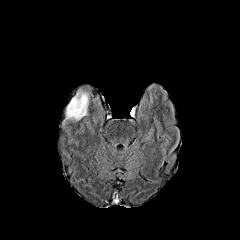
FLAIR MRI.
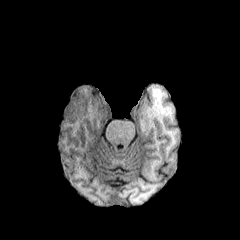
Same slice, T1-weighted MR.
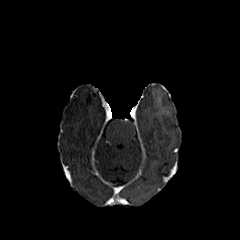
Post-contrast T1-weighted MR image.
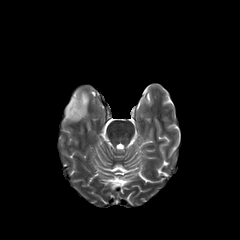
T2-weighted MR image.
240x240 px | Brain | Axial slice
peritumoral edema = [64,89,89,121]